240x240 px; Axial view
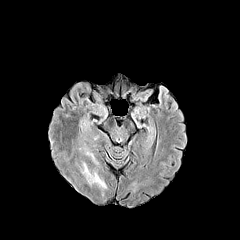
FLAIR MR.
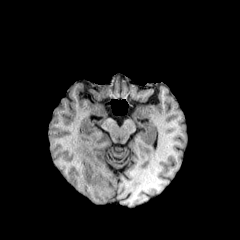
T1-weighted magnetic resonance.
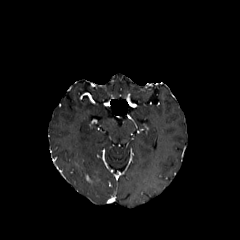
Post-contrast T1-weighted MRI.
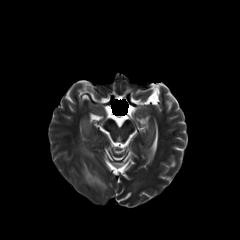
T2-weighted MR of the same slice.
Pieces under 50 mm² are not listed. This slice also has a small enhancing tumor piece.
2 peritumoral edema regions are located at [78,161,107,189], [79,145,99,165].